FLAIR MR.
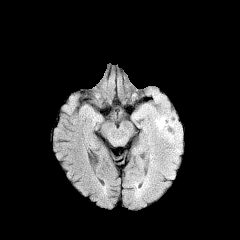
T1-weighted MR.
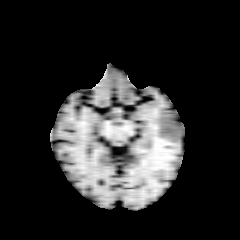
Post-contrast T1-weighted MR.
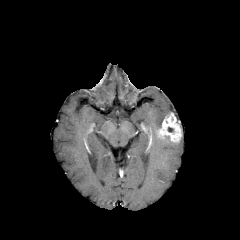
T2-weighted magnetic resonance.
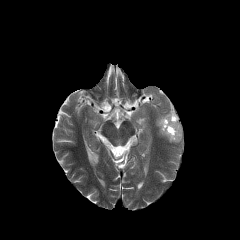
Head. Axial plane.
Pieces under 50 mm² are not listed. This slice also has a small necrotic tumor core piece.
Segmented structures:
• enhancing tumor: (x1=158, y1=112, x2=182, y2=142)
• peritumoral edema: (x1=155, y1=115, x2=165, y2=128)